FLAIR MRI.
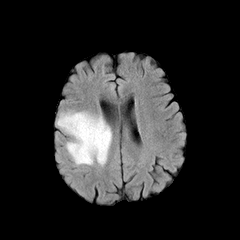
T1-weighted magnetic resonance.
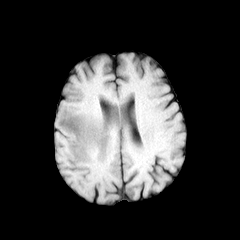
Post-contrast T1-weighted magnetic resonance.
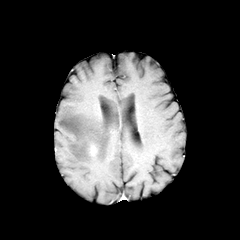
T2-weighted MR.
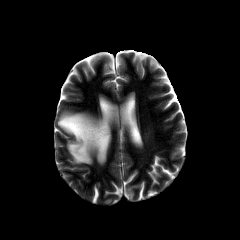
Head.
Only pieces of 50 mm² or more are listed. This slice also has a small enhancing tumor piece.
peritumoral_edema:
  - [57,111,111,165]